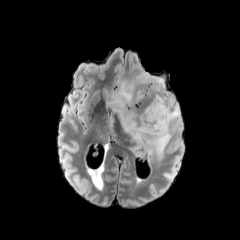
FLAIR MR.
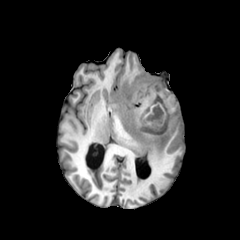
T1-weighted magnetic resonance of the same slice.
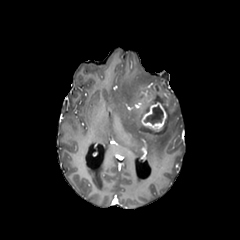
Post-contrast T1-weighted MRI of the same slice.
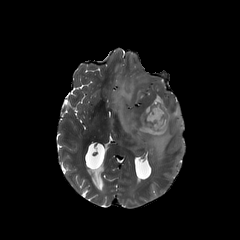
T2-weighted MR image.
240x240
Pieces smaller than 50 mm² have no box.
The peritumoral edema lies within region(109, 73, 181, 158). The largest enhancing tumor region is located at region(141, 102, 166, 131). The necrotic tumor core appears at region(144, 105, 163, 124).